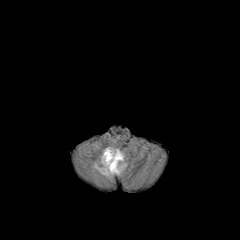
FLAIR MR image.
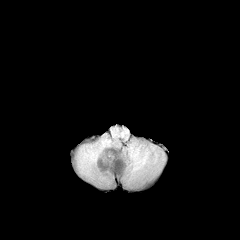
T1-weighted MR of the same slice.
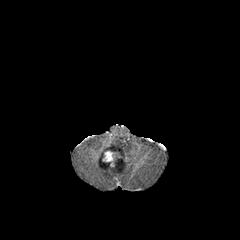
Post-contrast T1-weighted magnetic resonance of the same slice.
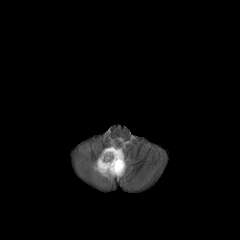
T2-weighted MR image of the same slice.
Brain
{
  "peritumoral_edema": [
    "93:140:126:179"
  ],
  "enhancing_tumor": [
    "102:149:121:170"
  ]
}